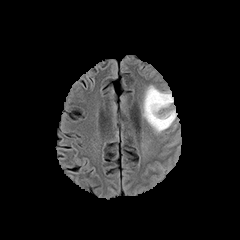
FLAIR MR image.
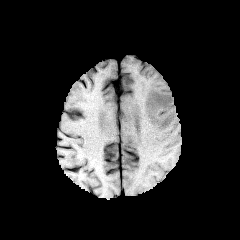
Same slice, T1-weighted MR image.
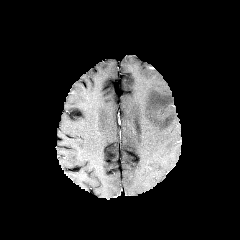
Post-contrast T1-weighted magnetic resonance of the same slice.
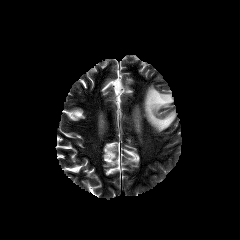
T2-weighted MR image.
peritumoral edema at bbox(143, 85, 176, 133)